Slice 113 of 155; Brain; 240x240
FLAIR MRI.
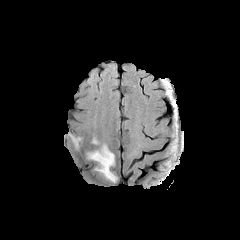
T1-weighted MR.
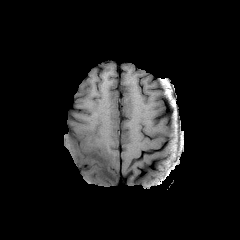
Post-contrast T1-weighted MR image.
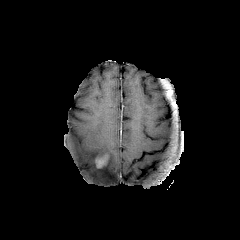
T2-weighted MR image.
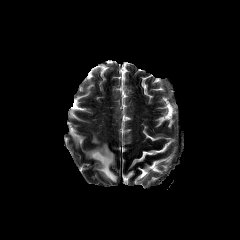
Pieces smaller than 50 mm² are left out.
{
  "enhancing_tumor": [
    "region(96, 155, 107, 167)"
  ],
  "peritumoral_edema": [
    "region(86, 144, 117, 182)",
    "region(69, 134, 82, 147)"
  ]
}